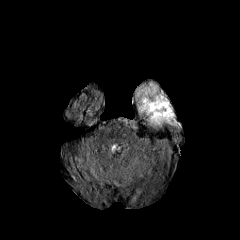
FLAIR MRI.
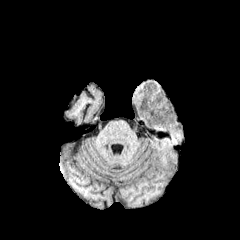
Same slice, T1-weighted magnetic resonance.
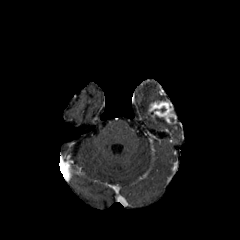
Post-contrast T1-weighted magnetic resonance of the same slice.
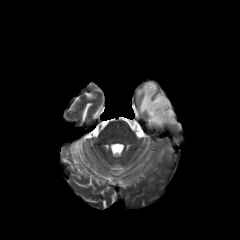
T2-weighted magnetic resonance.
Axial view, Brain
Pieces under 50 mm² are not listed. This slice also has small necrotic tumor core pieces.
peritumoral edema: bbox=[137, 82, 166, 126]
enhancing tumor: bbox=[148, 100, 176, 123]